FLAIR MR.
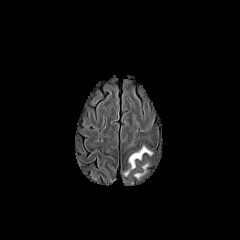
T1-weighted MR image.
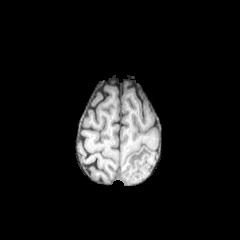
Post-contrast T1-weighted magnetic resonance.
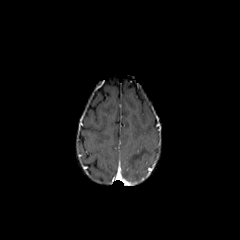
T2-weighted MRI.
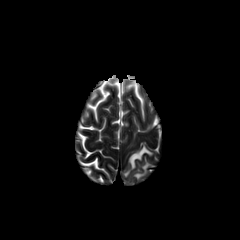
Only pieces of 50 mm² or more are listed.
The largest peritumoral edema region appears at l=129, t=146, r=152, b=168.